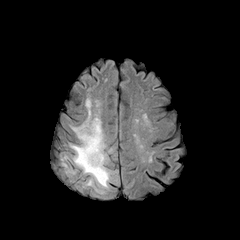
FLAIR magnetic resonance.
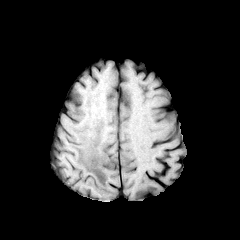
T1-weighted MR.
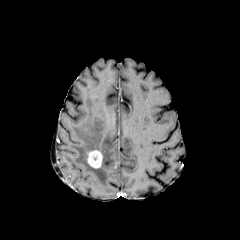
Post-contrast T1-weighted magnetic resonance of the same slice.
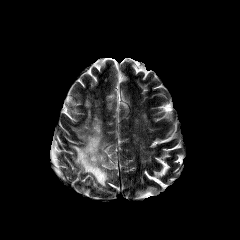
T2-weighted magnetic resonance.
240x240 px, Axial plane
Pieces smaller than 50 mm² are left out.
The enhancing tumor is at 87 150 102 168. The largest peritumoral edema region lies within 70 99 111 191.